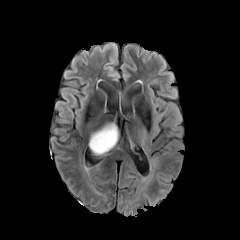
FLAIR MR.
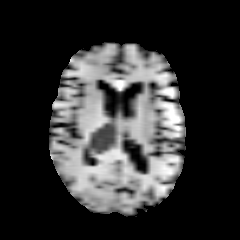
T1-weighted MR.
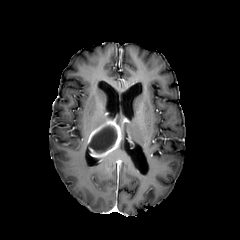
Post-contrast T1-weighted MR of the same slice.
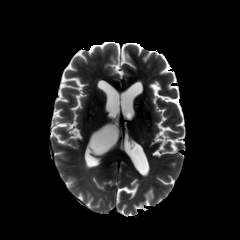
T2-weighted MRI of the same slice.
Head | Axial plane
The enhancing tumor appears at 88, 120, 121, 158. The necrotic tumor core appears at 90, 126, 117, 152.